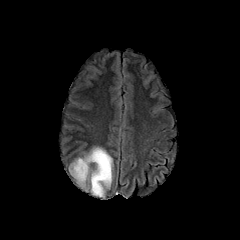
FLAIR magnetic resonance.
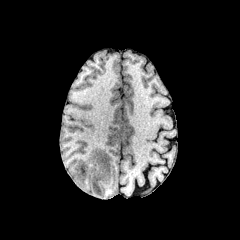
T1-weighted MRI of the same slice.
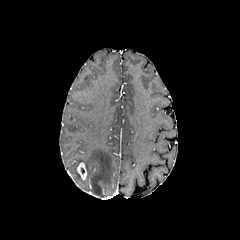
Same slice, post-contrast T1-weighted MRI.
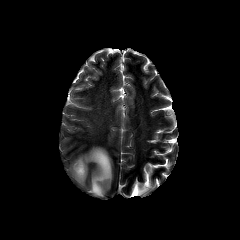
T2-weighted MRI of the same slice.
240x240 px, Brain, Axial slice
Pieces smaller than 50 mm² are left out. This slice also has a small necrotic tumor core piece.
The peritumoral edema is at (x1=69, y1=147, x2=112, y2=197). The enhancing tumor is at (x1=77, y1=162, x2=86, y2=180).